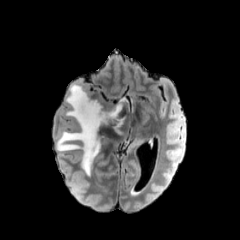
FLAIR MR image.
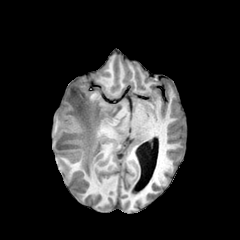
T1-weighted MR of the same slice.
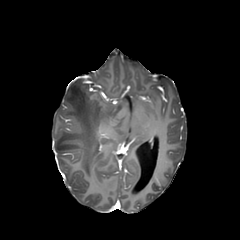
Post-contrast T1-weighted MR.
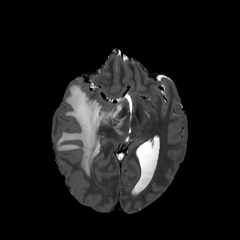
T2-weighted MRI.
Image size 240x240; Axial view
Segmented structures:
* peritumoral edema: 113 116 125 135, 55 83 125 176